FLAIR MR image.
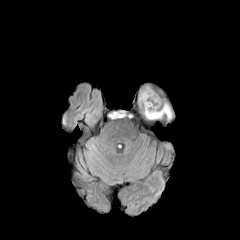
T1-weighted magnetic resonance.
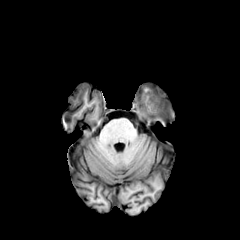
Post-contrast T1-weighted MRI.
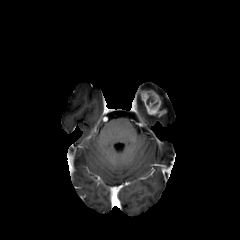
T2-weighted MR.
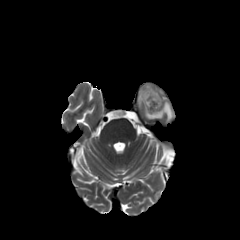
240x240 px; Brain; Axial view
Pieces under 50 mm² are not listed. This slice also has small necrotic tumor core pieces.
The 2 largest peritumoral edema regions are located at l=145, t=111, r=158, b=119; l=163, t=102, r=172, b=119. The enhancing tumor lies within l=140, t=90, r=166, b=117.